Image width 240 mm. Axial plane. Slice index 75. 240x240.
FLAIR MR.
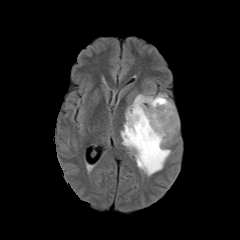
T1-weighted MR.
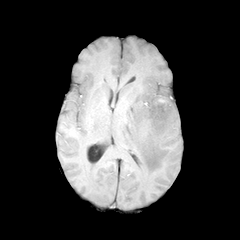
Post-contrast T1-weighted magnetic resonance.
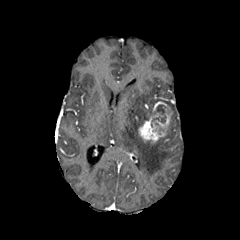
T2-weighted MRI.
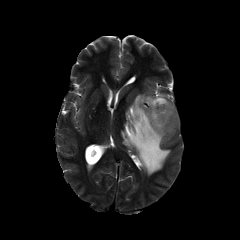
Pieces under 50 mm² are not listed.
The largest necrotic tumor core region is located at [148,105,165,123]. The largest peritumoral edema region is at [121,87,179,175]. The largest enhancing tumor region appears at [139,101,172,142].